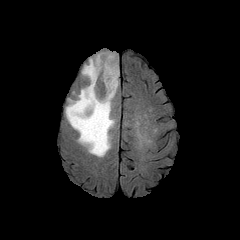
FLAIR magnetic resonance.
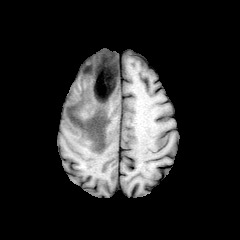
Same slice, T1-weighted MR image.
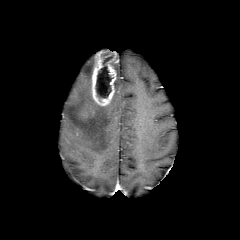
Post-contrast T1-weighted MR.
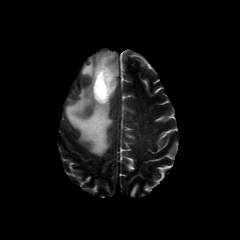
T2-weighted magnetic resonance.
240x240 px | Axial slice
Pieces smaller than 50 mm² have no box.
The largest necrotic tumor core region is bounded by x1=96, y1=55, x2=113, y2=97. The enhancing tumor is at x1=91, y1=50, x2=118, y2=105. 2 peritumoral edema regions are located at x1=65, y1=57, x2=114, y2=156; x1=112, y1=63, x2=119, y2=99.